FLAIR MRI.
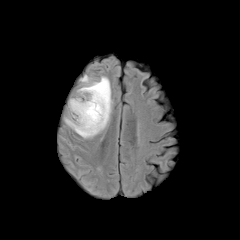
T1-weighted MR image.
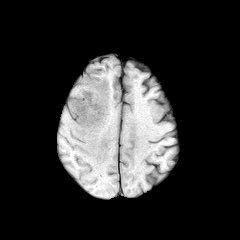
Post-contrast T1-weighted magnetic resonance.
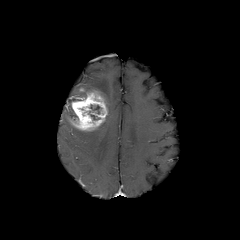
T2-weighted MR.
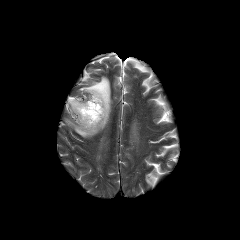
240x240
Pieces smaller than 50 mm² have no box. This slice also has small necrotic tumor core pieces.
<segmentation>
  <peritumoral_edema>(left=64, top=75, right=112, bottom=138)</peritumoral_edema>
  <enhancing_tumor>(left=68, top=90, right=107, bottom=131)</enhancing_tumor>
</segmentation>